FLAIR magnetic resonance.
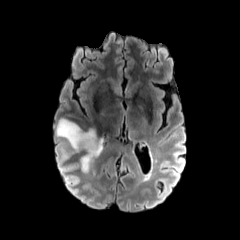
T1-weighted MRI.
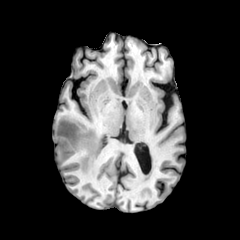
Post-contrast T1-weighted MR.
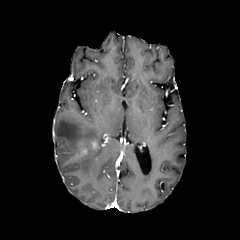
T2-weighted MR image.
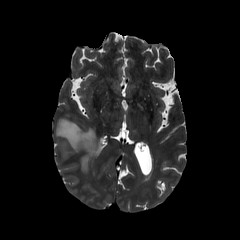
Brain
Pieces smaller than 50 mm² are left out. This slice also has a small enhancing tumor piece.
The peritumoral edema is bounded by (left=56, top=118, right=103, bottom=172).